Axial slice, Image width 240 mm, 1.00 mm slice spacing, Slice 105 of 155, 240x240 px
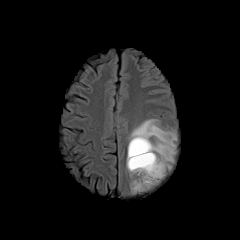
FLAIR MR.
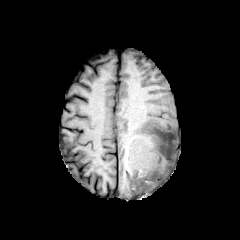
Same slice, T1-weighted MR.
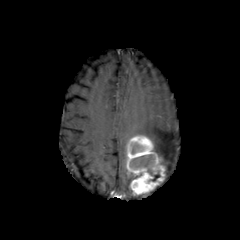
Post-contrast T1-weighted magnetic resonance of the same slice.
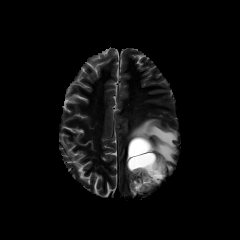
T2-weighted MRI of the same slice.
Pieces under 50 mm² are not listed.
peritumoral edema: 128:118:177:173
enhancing tumor: 126:135:165:195
necrotic tumor core: 145:171:160:183, 130:155:153:174